Brain | Image width 240 mm, 1.00 mm slice spacing | 240x240 px
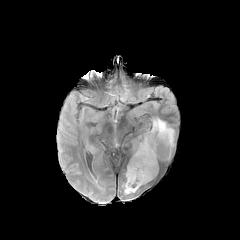
FLAIR magnetic resonance.
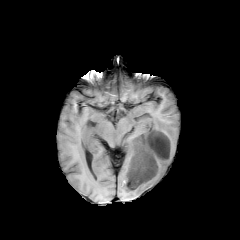
T1-weighted MRI.
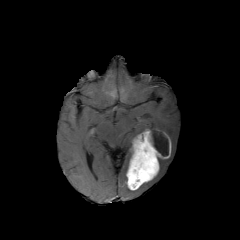
Post-contrast T1-weighted MR.
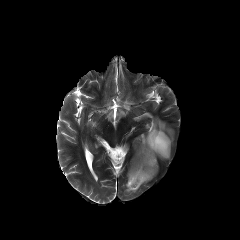
T2-weighted magnetic resonance of the same slice.
peritumoral_edema:
  - (x1=152, y1=119, x2=173, y2=144)
  - (x1=124, y1=183, x2=136, y2=193)
enhancing_tumor:
  - (x1=126, y1=129, x2=171, y2=190)
necrotic_tumor_core:
  - (x1=151, y1=130, x2=168, y2=156)